FLAIR MR.
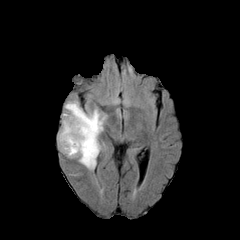
T1-weighted MRI.
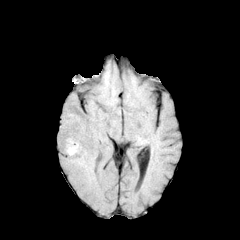
Post-contrast T1-weighted MR image.
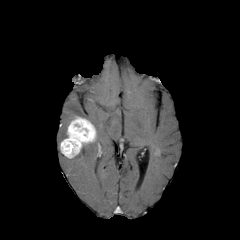
T2-weighted MR.
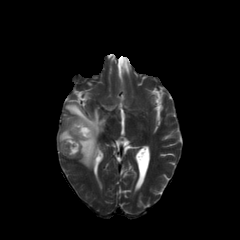
Axial slice; Head
The enhancing tumor is located at region(60, 116, 96, 158). The peritumoral edema is located at region(58, 100, 106, 169).